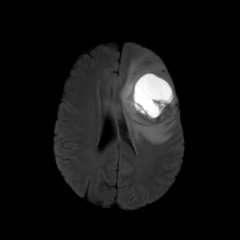
FLAIR MR image.
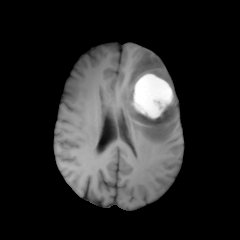
T1-weighted magnetic resonance.
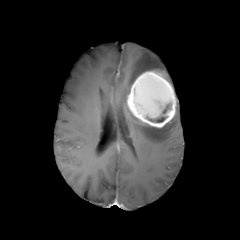
Same slice, post-contrast T1-weighted MRI.
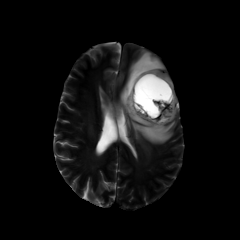
T2-weighted MRI.
Head | Axial slice
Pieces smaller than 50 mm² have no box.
peritumoral edema — region(119, 50, 176, 144)
enhancing tumor — region(127, 71, 176, 127)
necrotic tumor core — region(162, 103, 170, 113); region(147, 116, 167, 122)